Image width 240 mm, 1.00 mm slice spacing
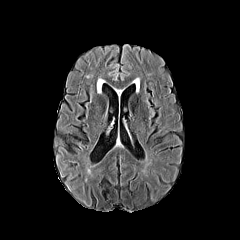
FLAIR magnetic resonance.
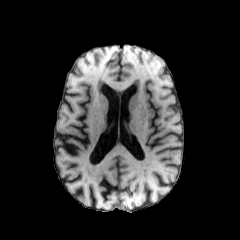
T1-weighted MR.
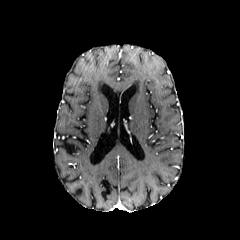
Post-contrast T1-weighted magnetic resonance of the same slice.
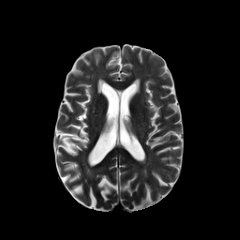
Same slice, T2-weighted magnetic resonance.
peritumoral edema: region(97, 79, 104, 91)